FLAIR MR image.
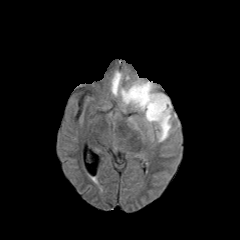
T1-weighted magnetic resonance.
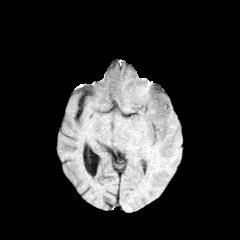
Post-contrast T1-weighted MR image.
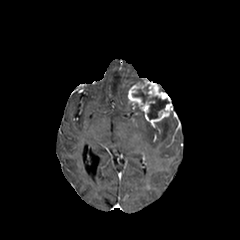
T2-weighted MR image.
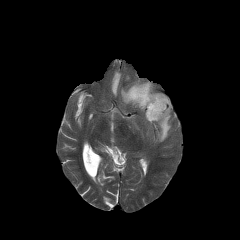
Head
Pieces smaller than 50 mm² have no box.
peritumoral edema: bbox=[111, 71, 131, 105]; bbox=[155, 114, 171, 141] | necrotic tumor core: bbox=[133, 89, 169, 119] | enhancing tumor: bbox=[128, 79, 172, 124]